240x240; Brain
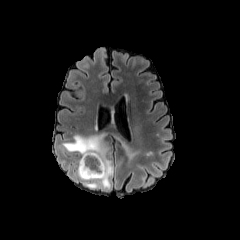
FLAIR magnetic resonance.
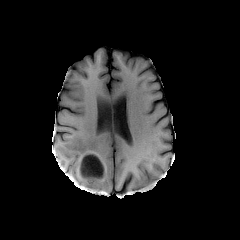
T1-weighted magnetic resonance of the same slice.
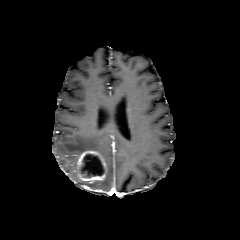
Post-contrast T1-weighted MR.
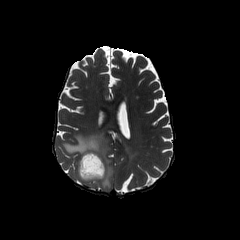
T2-weighted magnetic resonance of the same slice.
Findings:
* enhancing tumor: [77, 151, 105, 181]
* necrotic tumor core: [81, 154, 103, 177]
* peritumoral edema: [62, 129, 141, 189]